FLAIR MRI.
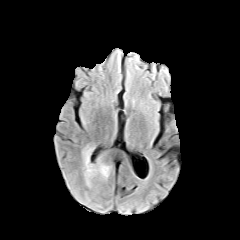
T1-weighted magnetic resonance.
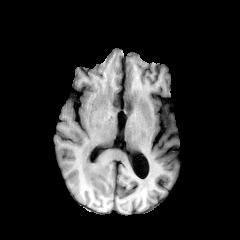
Post-contrast T1-weighted MR.
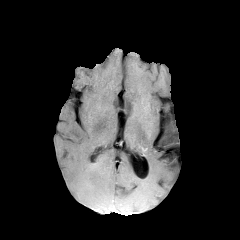
T2-weighted MRI.
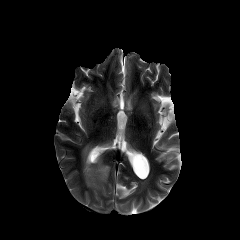
<segmentation>
  <peritumoral_edema>bbox=[82, 145, 110, 186]</peritumoral_edema>
</segmentation>